FLAIR magnetic resonance.
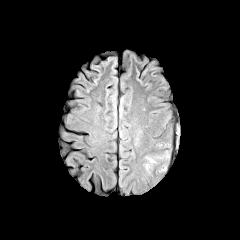
T1-weighted magnetic resonance.
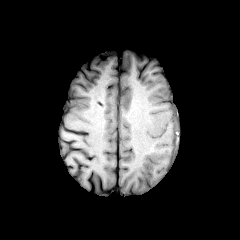
Post-contrast T1-weighted MR image.
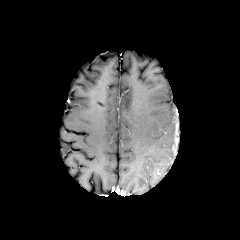
T2-weighted MR image.
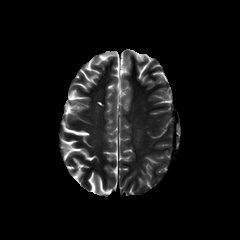
peritumoral_edema:
  - [156, 150, 170, 172]
  - [143, 155, 162, 174]